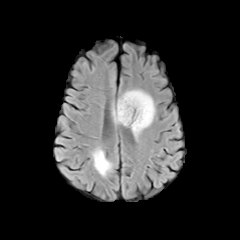
FLAIR MR.
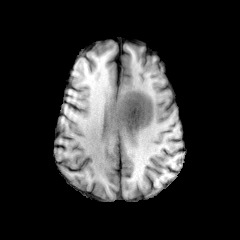
Same slice, T1-weighted MR.
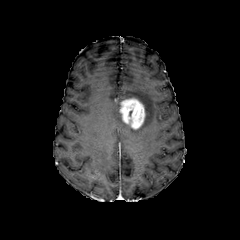
Post-contrast T1-weighted MR.
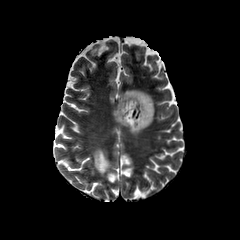
Same slice, T2-weighted MR image.
240x240 px
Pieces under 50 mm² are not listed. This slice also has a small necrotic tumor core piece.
enhancing_tumor:
  - (119,97,145,129)
peritumoral_edema:
  - (113,90,154,135)
  - (92,148,111,175)